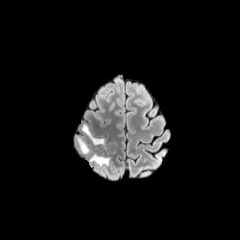
FLAIR magnetic resonance.
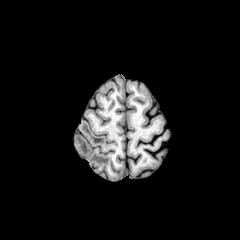
T1-weighted magnetic resonance.
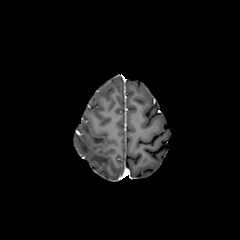
Post-contrast T1-weighted MR image.
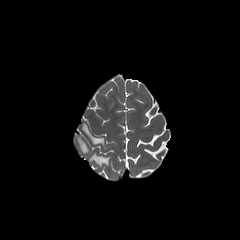
T2-weighted MR image of the same slice.
Brain, Axial plane
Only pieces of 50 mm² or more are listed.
{
  "peritumoral_edema": [
    "box=[81, 123, 104, 144]",
    "box=[76, 136, 89, 154]",
    "box=[89, 154, 110, 165]"
  ]
}